FLAIR magnetic resonance.
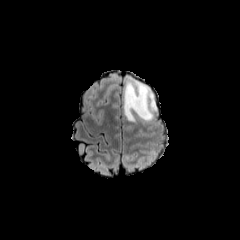
T1-weighted MRI.
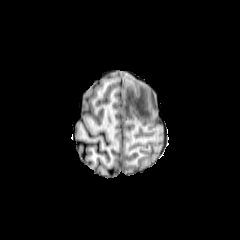
Post-contrast T1-weighted magnetic resonance.
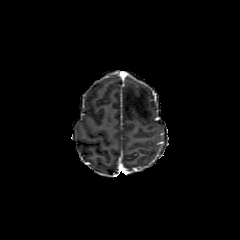
T2-weighted MR.
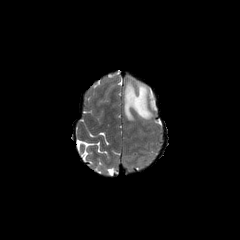
peritumoral edema: bbox(123, 79, 156, 121)